FLAIR MR.
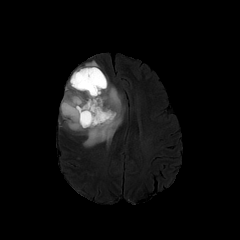
T1-weighted MR.
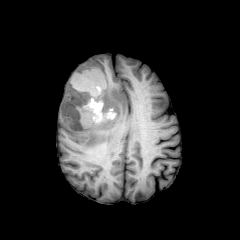
Post-contrast T1-weighted MR.
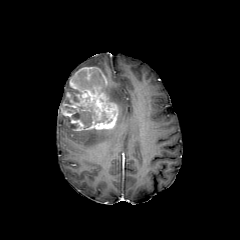
T2-weighted MR.
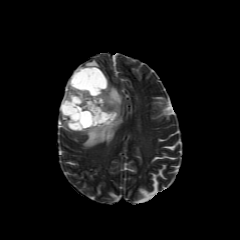
Axial view, Brain
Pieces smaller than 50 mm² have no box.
The enhancing tumor is located at x1=61 y1=67 x2=119 y2=130. The 3 largest necrotic tumor core regions appear at x1=65 y1=106 x2=94 y2=127, x1=74 y1=69 x2=105 y2=91, x1=68 y1=91 x2=79 y2=101. 4 peritumoral edema regions are located at x1=59 y1=106 x2=72 y2=130, x1=72 y1=60 x2=99 y2=75, x1=61 y1=82 x2=77 y2=105, x1=73 y1=75 x2=125 y2=147.